Axial view | Head
FLAIR MRI.
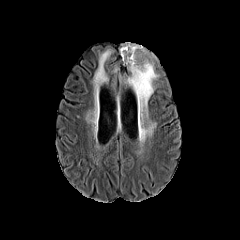
T1-weighted magnetic resonance.
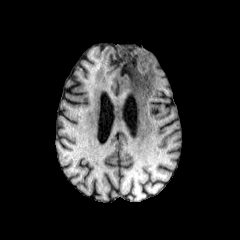
Post-contrast T1-weighted MRI.
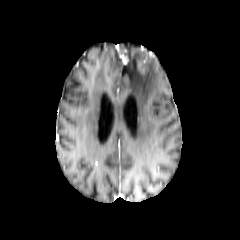
T2-weighted MR image.
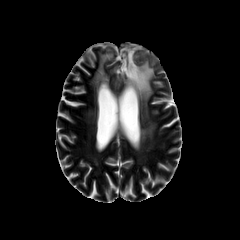
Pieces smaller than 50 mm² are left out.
Findings:
- peritumoral edema: bbox=[93, 49, 111, 91]; bbox=[120, 43, 157, 141]
- enhancing tumor: bbox=[120, 54, 128, 64]